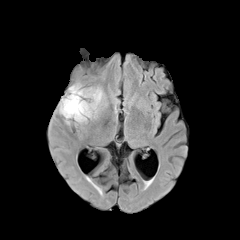
FLAIR MRI.
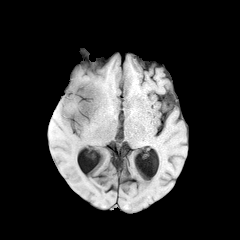
Same slice, T1-weighted MR image.
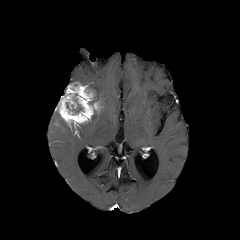
Post-contrast T1-weighted MRI of the same slice.
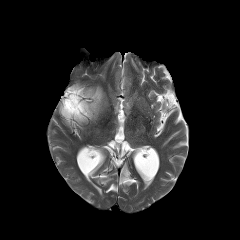
T2-weighted MR.
Axial plane
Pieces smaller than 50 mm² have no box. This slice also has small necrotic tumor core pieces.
{
  "peritumoral_edema": [
    "89 87 103 107"
  ],
  "enhancing_tumor": [
    "58 82 101 126"
  ]
}